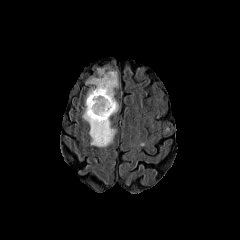
FLAIR MRI.
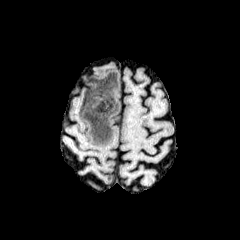
Same slice, T1-weighted MRI.
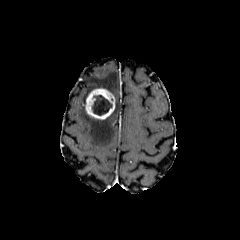
Same slice, post-contrast T1-weighted magnetic resonance.
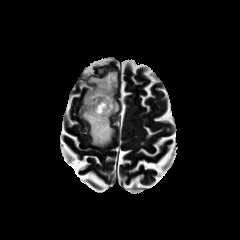
T2-weighted MR image.
Head
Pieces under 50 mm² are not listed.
peritumoral edema: [x1=82, y1=101, x2=118, y2=147], [x1=87, y1=68, x2=118, y2=95]
enhancing tumor: [x1=84, y1=88, x2=115, y2=119]
necrotic tumor core: [x1=92, y1=95, x2=112, y2=115]